FLAIR magnetic resonance.
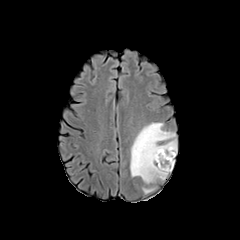
T1-weighted MR.
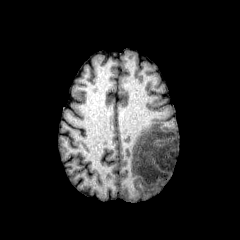
Post-contrast T1-weighted magnetic resonance.
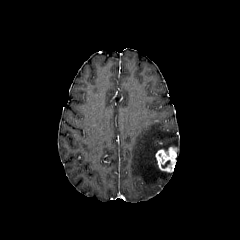
T2-weighted MRI.
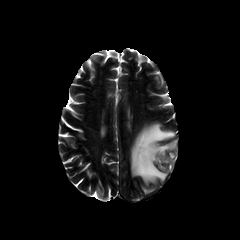
Brain. 240x240. Axial view.
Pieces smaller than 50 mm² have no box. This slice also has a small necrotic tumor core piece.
peritumoral edema = 130, 123, 177, 184; 143, 187, 155, 194
enhancing tumor = 155, 147, 177, 172